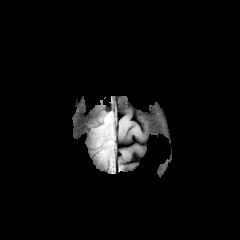
FLAIR MRI.
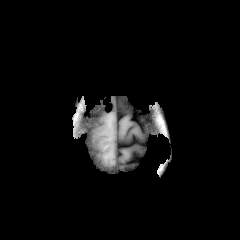
Same slice, T1-weighted MR image.
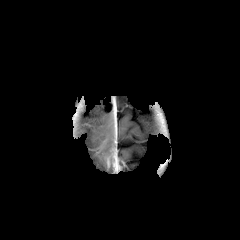
Post-contrast T1-weighted MRI of the same slice.
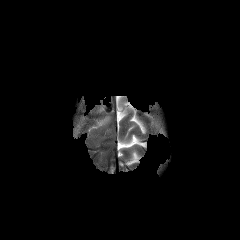
T2-weighted MRI.
Axial slice | Brain
peritumoral edema — 90:97:114:126